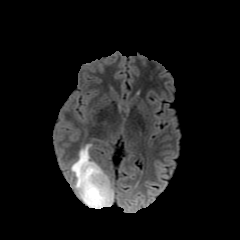
FLAIR magnetic resonance.
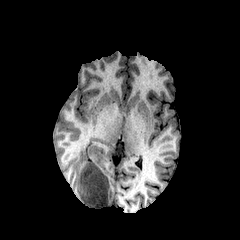
T1-weighted MRI.
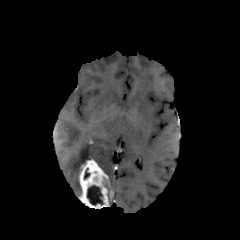
Post-contrast T1-weighted magnetic resonance.
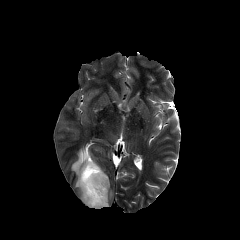
Same slice, T2-weighted MR.
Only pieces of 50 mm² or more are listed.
enhancing tumor: [79, 159, 113, 208] | necrotic tumor core: [87, 185, 103, 205] | peritumoral edema: [71, 144, 91, 196]